FLAIR MR image.
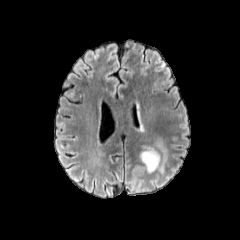
T1-weighted MR image.
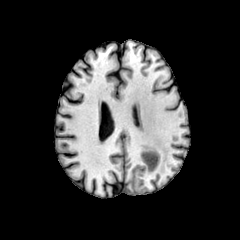
Post-contrast T1-weighted magnetic resonance.
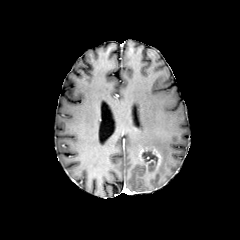
T2-weighted MRI.
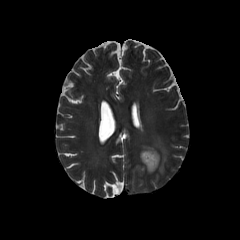
240x240 px
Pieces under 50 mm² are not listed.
Segmented structures:
* peritumoral edema: 156 138 167 163
* enhancing tumor: 140 149 160 173
* necrotic tumor core: 142 151 157 163